Brain, Image size 240x240
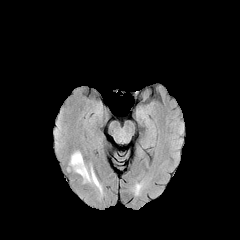
FLAIR magnetic resonance.
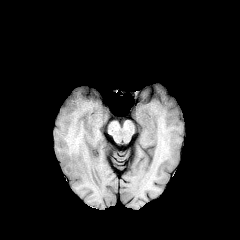
T1-weighted MR image of the same slice.
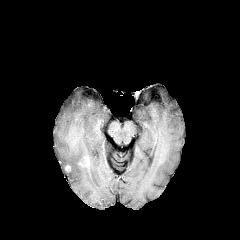
Post-contrast T1-weighted MRI.
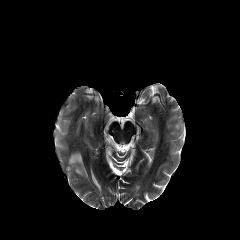
Same slice, T2-weighted MR.
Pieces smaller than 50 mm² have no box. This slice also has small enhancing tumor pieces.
peritumoral_edema:
  - box=[69, 151, 101, 192]